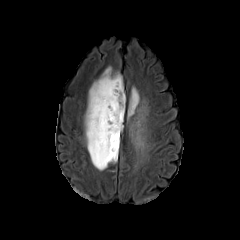
FLAIR magnetic resonance.
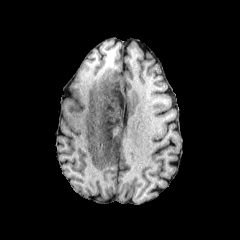
Same slice, T1-weighted magnetic resonance.
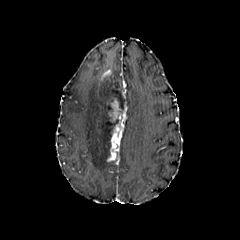
Post-contrast T1-weighted MRI.
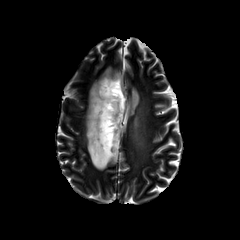
Same slice, T2-weighted MR image.
Brain. 240x240 px.
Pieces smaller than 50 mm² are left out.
peritumoral edema — box=[128, 87, 139, 117]; box=[85, 71, 122, 170]
enhancing tumor — box=[107, 97, 126, 161]; box=[101, 69, 113, 79]
necrotic tumor core — box=[113, 80, 125, 109]